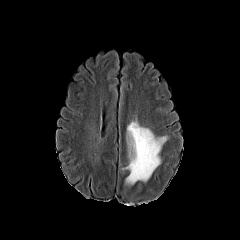
FLAIR MRI.
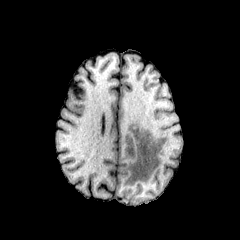
T1-weighted MR of the same slice.
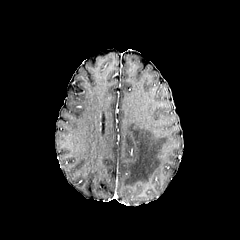
Same slice, post-contrast T1-weighted MR image.
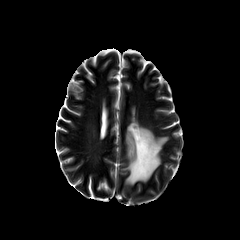
T2-weighted MRI.
Axial plane
peritumoral edema — 123, 121, 167, 185